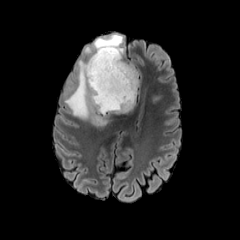
FLAIR MR.
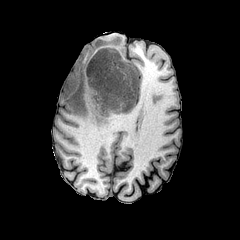
Same slice, T1-weighted MR.
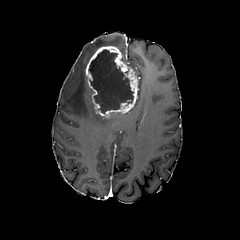
Post-contrast T1-weighted MRI.
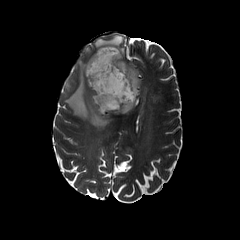
T2-weighted MRI.
Axial view, Image size 240x240
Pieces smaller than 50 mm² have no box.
peritumoral edema — {"x1": 64, "y1": 34, "x2": 123, "y2": 129}
necrotic tumor core — {"x1": 88, "y1": 49, "x2": 134, "y2": 113}
enhancing tumor — {"x1": 85, "y1": 46, "x2": 138, "y2": 117}